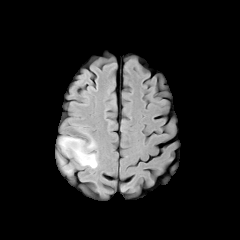
FLAIR magnetic resonance.
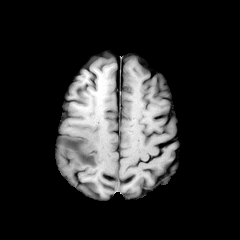
T1-weighted MR.
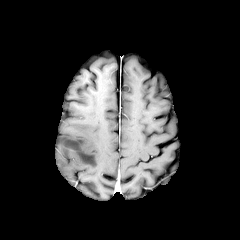
Post-contrast T1-weighted magnetic resonance of the same slice.
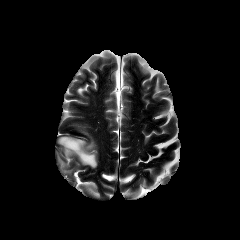
T2-weighted MR image.
Head; Axial view; Image size 240x240
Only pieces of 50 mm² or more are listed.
peritumoral edema: [x1=56, y1=136, x2=97, y2=175] | enhancing tumor: [x1=62, y1=138, x2=81, y2=151]